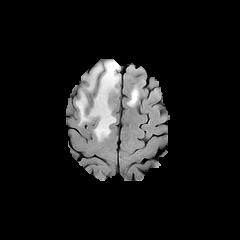
FLAIR MR.
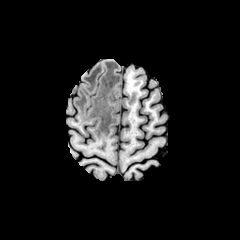
T1-weighted MRI.
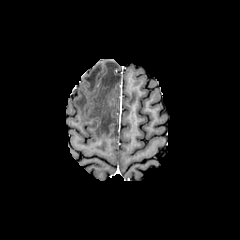
Same slice, post-contrast T1-weighted MR image.
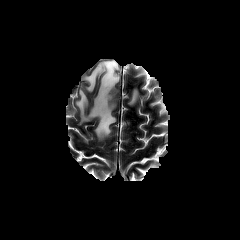
T2-weighted magnetic resonance of the same slice.
Image size 240x240, Axial slice
peritumoral edema: bounding box <box>127,88,138,106</box>, <box>85,64,102,91</box>, <box>76,60,120,140</box>